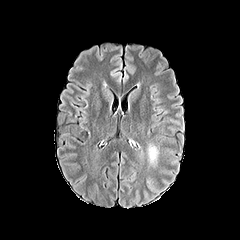
FLAIR MR image.
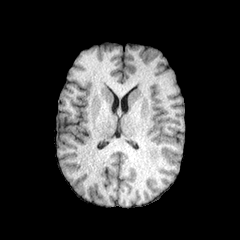
T1-weighted magnetic resonance of the same slice.
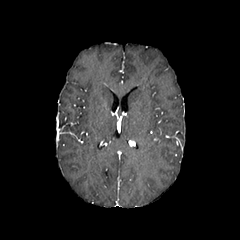
Same slice, post-contrast T1-weighted magnetic resonance.
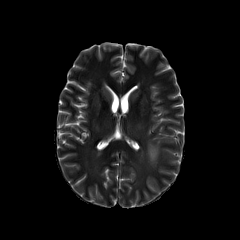
T2-weighted magnetic resonance.
240x240
Findings:
• peritumoral edema: x1=148 y1=145 x2=158 y2=164